FLAIR magnetic resonance.
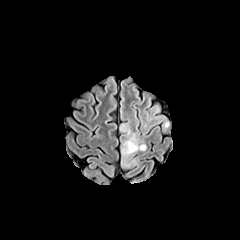
T1-weighted MR.
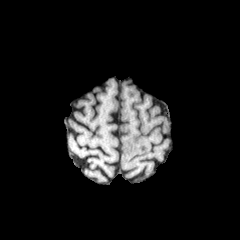
Post-contrast T1-weighted MRI.
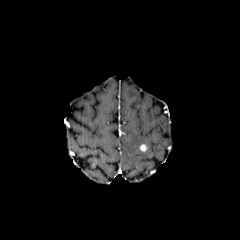
T2-weighted magnetic resonance.
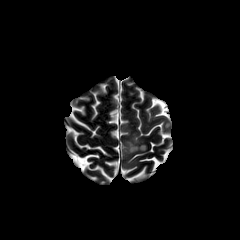
Axial view, Brain, 240x240 px
<segmentation>
  <enhancing_tumor>region(139, 144, 147, 151)</enhancing_tumor>
  <peritumoral_edema>region(120, 124, 139, 165)</peritumoral_edema>
</segmentation>